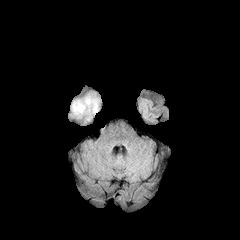
FLAIR magnetic resonance.
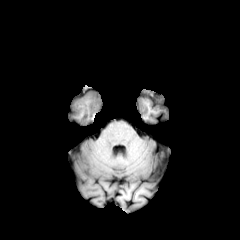
T1-weighted MR image.
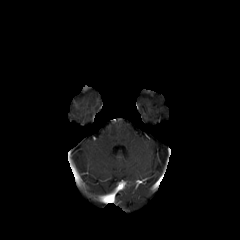
Post-contrast T1-weighted MRI.
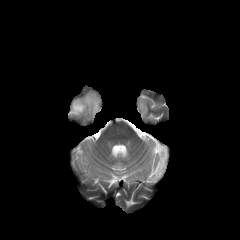
T2-weighted MR image.
Axial view
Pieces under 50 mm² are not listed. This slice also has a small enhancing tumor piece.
peritumoral edema: bounding box bbox(71, 94, 99, 119)